Head | 240x240
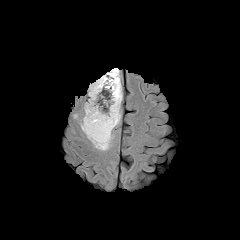
FLAIR MR image.
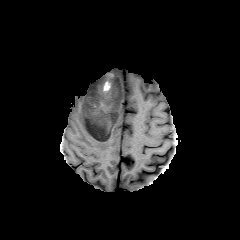
Same slice, T1-weighted magnetic resonance.
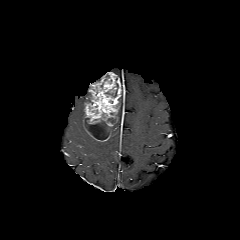
Post-contrast T1-weighted MR.
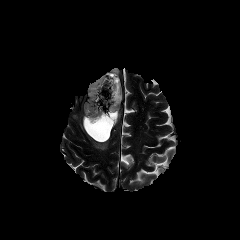
T2-weighted MR image.
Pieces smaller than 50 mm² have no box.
enhancing tumor: <bbox>83, 72, 121, 141</bbox> | peritumoral edema: <bbox>112, 89, 123, 131</bbox>, <bbox>80, 112, 112, 150</bbox>, <bbox>110, 68, 119, 77</bbox> | necrotic tumor core: <bbox>84, 118, 110, 140</bbox>